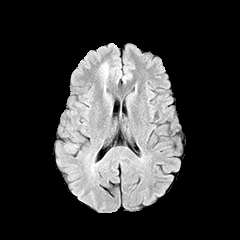
FLAIR MR image.
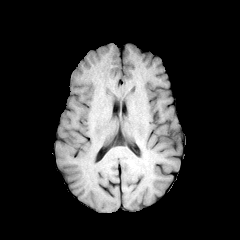
T1-weighted MR image.
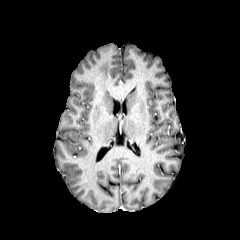
Same slice, post-contrast T1-weighted MRI.
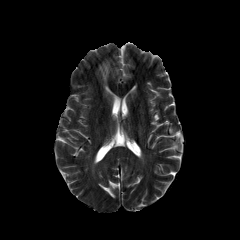
T2-weighted magnetic resonance of the same slice.
Axial plane
<segmentation>
  <peritumoral_edema>100 63 108 78</peritumoral_edema>
</segmentation>